Brain; Slice index 63
FLAIR MR image.
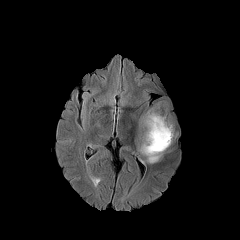
T1-weighted MRI.
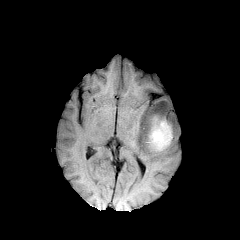
Post-contrast T1-weighted MRI.
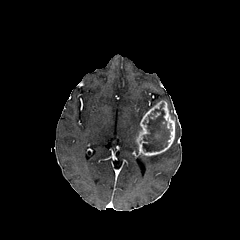
T2-weighted MRI.
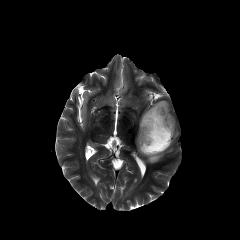
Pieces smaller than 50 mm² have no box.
necrotic tumor core: bounding box [143,103,169,151]
peritumoral edema: bounding box [144,153,163,163]
enhancing tumor: bounding box [136,100,175,156]